FLAIR magnetic resonance.
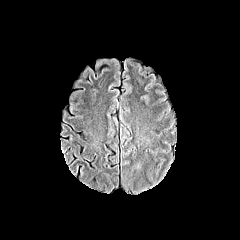
T1-weighted MR image.
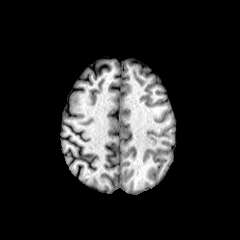
Post-contrast T1-weighted magnetic resonance.
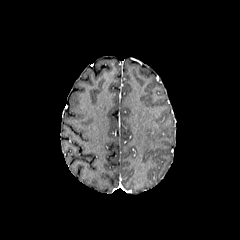
T2-weighted MR image.
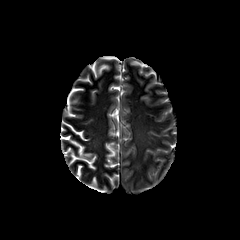
240x240 px. Axial view.
peritumoral edema — <box>134,161,142,172</box>